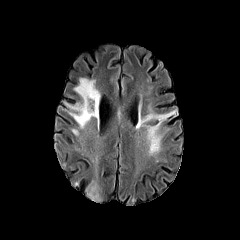
FLAIR MR.
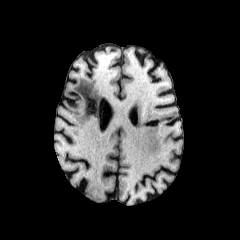
T1-weighted magnetic resonance.
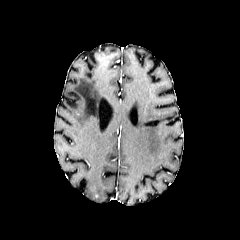
Post-contrast T1-weighted MR image.
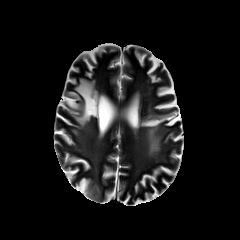
T2-weighted MR.
240x240, Brain, Axial view
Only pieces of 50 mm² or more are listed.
Findings:
- peritumoral edema: region(85, 180, 103, 202); region(63, 77, 100, 128); region(136, 108, 176, 155)